Image size 240x240 | Brain | Axial slice
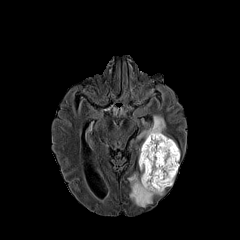
FLAIR MR image.
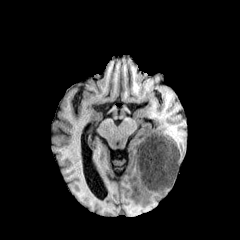
T1-weighted MR.
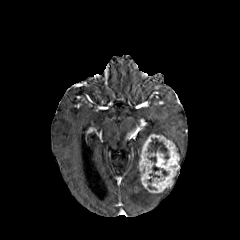
Post-contrast T1-weighted magnetic resonance.
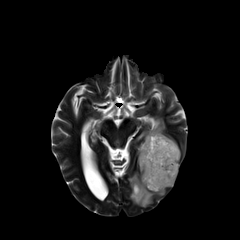
T2-weighted magnetic resonance.
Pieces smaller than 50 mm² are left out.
peritumoral edema — (137, 115, 180, 157), (128, 173, 164, 207)
enhancing tumor — (139, 134, 179, 193)
necrotic tumor core — (147, 138, 169, 159)